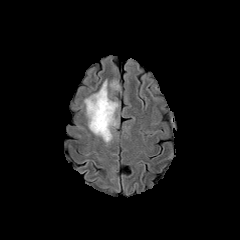
FLAIR MR image.
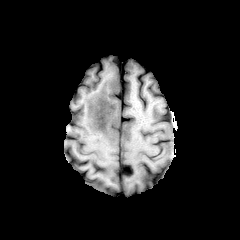
T1-weighted MR image.
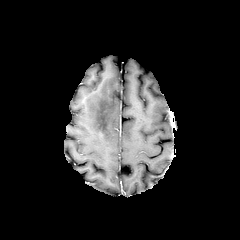
Post-contrast T1-weighted magnetic resonance.
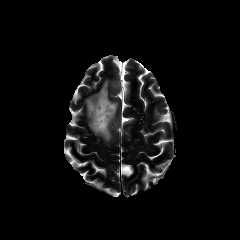
T2-weighted magnetic resonance of the same slice.
Brain.
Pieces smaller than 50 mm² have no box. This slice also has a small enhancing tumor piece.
peritumoral_edema:
  - [x1=84, y1=79, x2=119, y2=142]